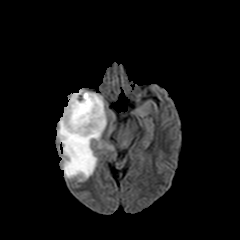
FLAIR MR image.
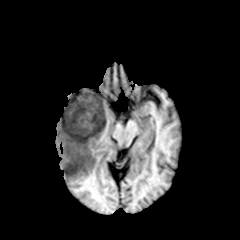
Same slice, T1-weighted MR.
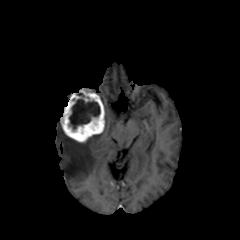
Post-contrast T1-weighted MR.
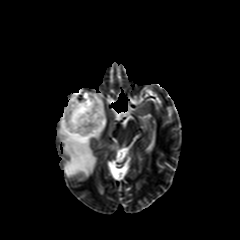
T2-weighted MR image of the same slice.
Head, 240x240
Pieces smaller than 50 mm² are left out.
The enhancing tumor lies within {"x1": 60, "y1": 88, "x2": 105, "y2": 142}. The largest peritumoral edema region appears at {"x1": 57, "y1": 122, "x2": 101, "y2": 181}. The largest necrotic tumor core region appears at {"x1": 69, "y1": 99, "x2": 100, "y2": 129}.